FLAIR MR image.
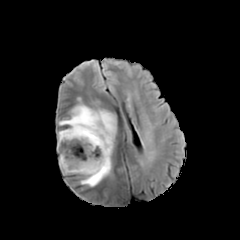
T1-weighted magnetic resonance.
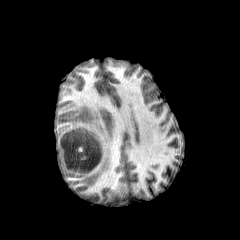
Post-contrast T1-weighted MRI.
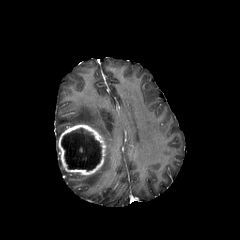
T2-weighted MRI.
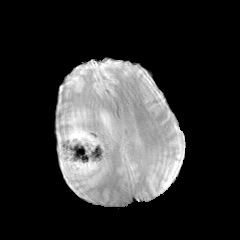
Brain
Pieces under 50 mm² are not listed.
The largest necrotic tumor core region appears at <bbox>61, 128, 101, 170</bbox>. The enhancing tumor appears at <bbox>57, 124, 106, 175</bbox>. The 2 largest peritumoral edema regions are bounded by <bbox>59, 158, 78, 174</bbox>, <bbox>57, 105, 116, 186</bbox>.